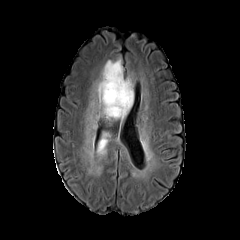
FLAIR MR.
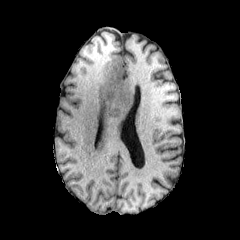
T1-weighted MR.
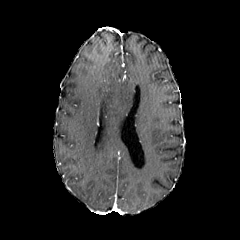
Post-contrast T1-weighted magnetic resonance.
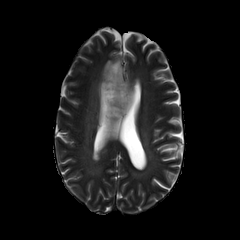
T2-weighted MRI.
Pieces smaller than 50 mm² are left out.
The 2 largest peritumoral edema regions are located at [x1=97, y1=133, x2=109, y2=154], [x1=97, y1=59, x2=133, y2=120].